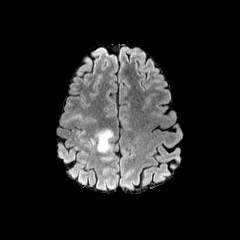
FLAIR magnetic resonance.
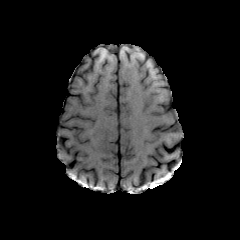
T1-weighted MR image.
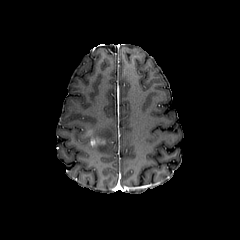
Post-contrast T1-weighted magnetic resonance.
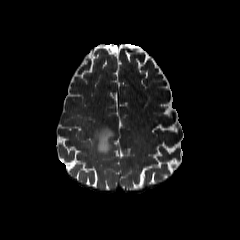
T2-weighted MRI of the same slice.
Image size 240x240, Axial slice, Head
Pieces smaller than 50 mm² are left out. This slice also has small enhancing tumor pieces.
The peritumoral edema is located at [x1=81, y1=128, x2=113, y2=160].